FLAIR magnetic resonance.
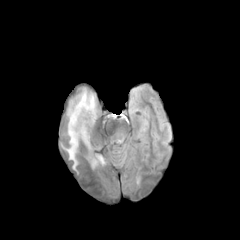
T1-weighted MR.
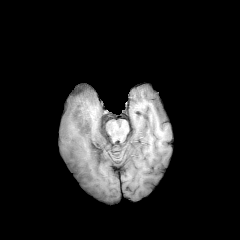
Post-contrast T1-weighted magnetic resonance.
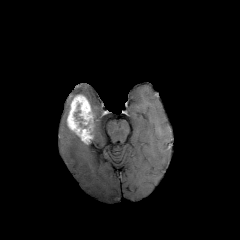
T2-weighted MR.
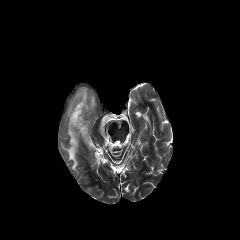
Axial plane. Brain. Image size 240x240.
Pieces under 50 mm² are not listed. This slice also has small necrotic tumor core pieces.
<segmentation>
  <peritumoral_edema>[79,88,96,124], [62,125,80,169]</peritumoral_edema>
  <enhancing_tumor>[67,94,92,143]</enhancing_tumor>
</segmentation>